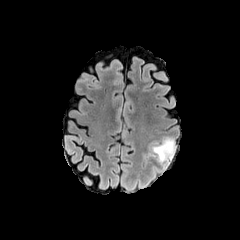
FLAIR MR image.
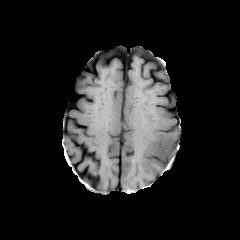
Same slice, T1-weighted MRI.
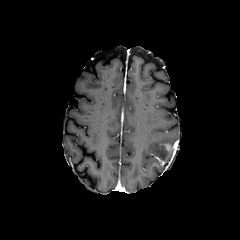
Post-contrast T1-weighted MR.
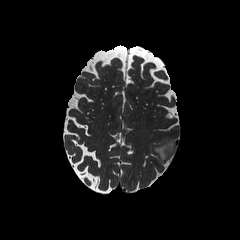
Same slice, T2-weighted magnetic resonance.
The peritumoral edema is bounded by left=152, top=137, right=174, bottom=167. The enhancing tumor appears at left=164, top=143, right=176, bottom=163.